Axial view, Slice 88 of 155, Head, Image size 240x240
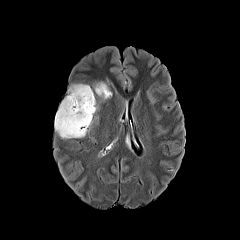
FLAIR MR.
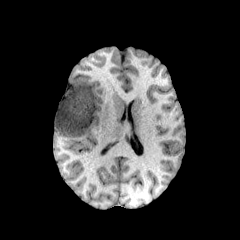
T1-weighted MR image of the same slice.
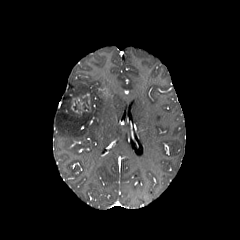
Post-contrast T1-weighted magnetic resonance.
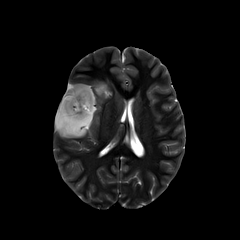
Same slice, T2-weighted MR image.
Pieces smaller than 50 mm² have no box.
Segmented structures:
• necrotic tumor core: x1=73 y1=112 x2=88 y2=131
• enhancing tumor: x1=71 y1=93 x2=91 y2=114
• peritumoral edema: x1=55 y1=84 x2=97 y2=138, x1=94 y1=82 x2=111 y2=99